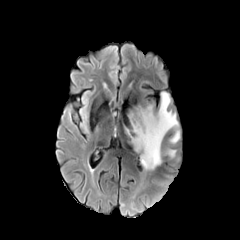
FLAIR MR.
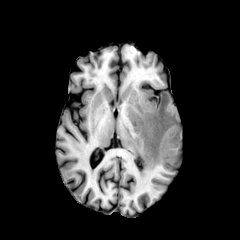
T1-weighted MR image.
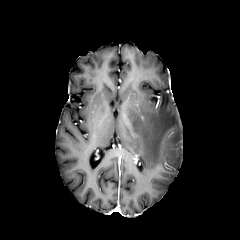
Same slice, post-contrast T1-weighted MR image.
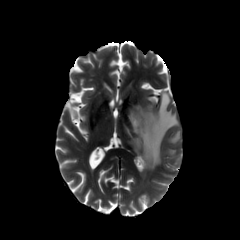
Same slice, T2-weighted magnetic resonance.
Head.
<segmentation>
  <peritumoral_edema>{"x1": 169, "y1": 129, "x2": 179, "y2": 143}, {"x1": 125, "y1": 92, "x2": 178, "y2": 170}, {"x1": 165, "y1": 148, "x2": 175, "y2": 156}</peritumoral_edema>
</segmentation>